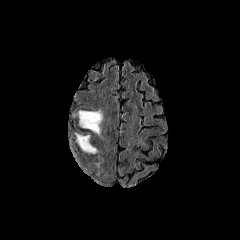
FLAIR MR.
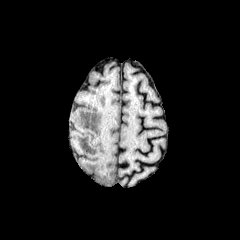
T1-weighted MR image.
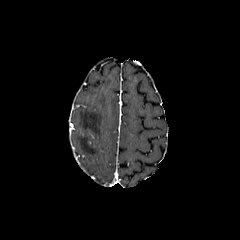
Post-contrast T1-weighted MR image.
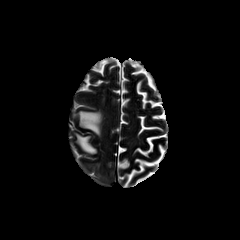
Same slice, T2-weighted MRI.
240x240 px | Head | Axial slice
peritumoral edema = bbox(77, 110, 102, 135); bbox(76, 133, 97, 153)